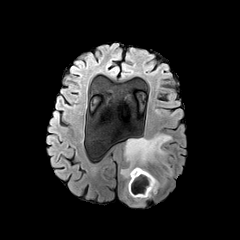
FLAIR MR.
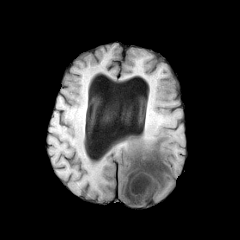
Same slice, T1-weighted MRI.
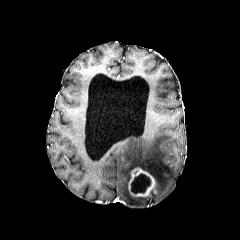
Post-contrast T1-weighted MRI of the same slice.
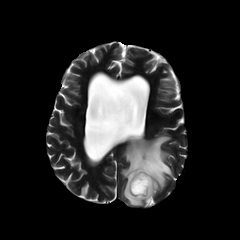
T2-weighted MRI.
Head | 240x240
- necrotic tumor core: (x1=131, y1=174, x2=150, y2=193)
- enhancing tumor: (x1=128, y1=167, x2=156, y2=197)
- peritumoral edema: (x1=120, y1=134, x2=172, y2=205)